Image covers 240 mm x 240 mm; Image size 240x240
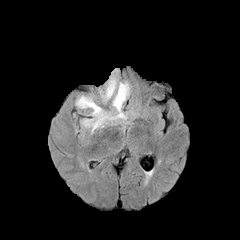
FLAIR MRI.
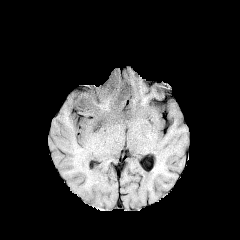
T1-weighted magnetic resonance.
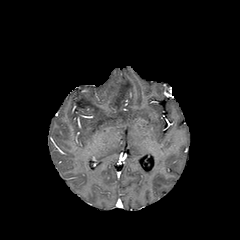
Post-contrast T1-weighted MRI.
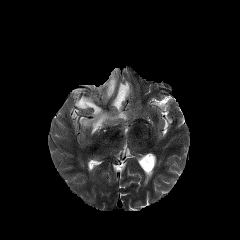
T2-weighted MRI of the same slice.
peritumoral edema: (left=76, top=69, right=130, bottom=133)